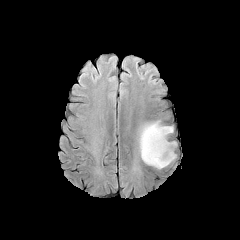
FLAIR MR image.
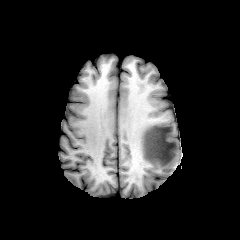
T1-weighted MR.
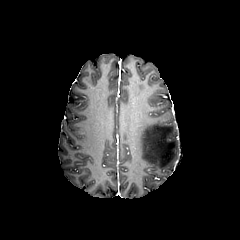
Post-contrast T1-weighted magnetic resonance.
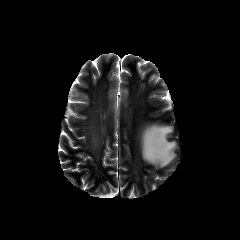
T2-weighted magnetic resonance.
The peritumoral edema appears at [139, 121, 176, 168].